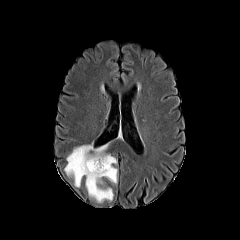
FLAIR MRI.
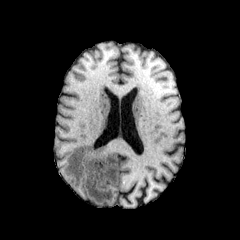
T1-weighted MR image.
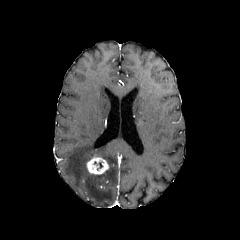
Post-contrast T1-weighted magnetic resonance.
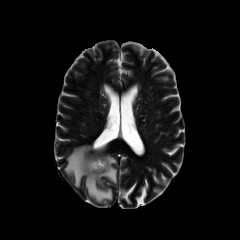
T2-weighted MR image of the same slice.
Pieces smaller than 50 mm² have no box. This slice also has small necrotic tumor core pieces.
Annotated regions:
- enhancing tumor: rect(86, 156, 108, 174)
- peritumoral edema: rect(64, 142, 117, 202)